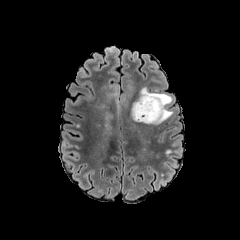
FLAIR MRI.
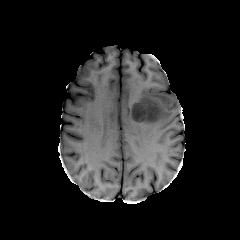
T1-weighted MRI.
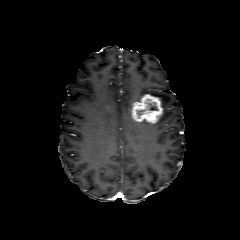
Post-contrast T1-weighted MR.
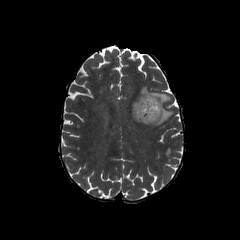
T2-weighted MR image.
Axial plane | Brain | Image size 240x240
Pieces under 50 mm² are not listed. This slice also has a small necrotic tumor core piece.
The enhancing tumor appears at 131:94:163:123. The largest peritumoral edema region lies within 134:86:173:124.